FLAIR MRI.
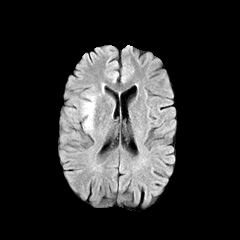
T1-weighted MRI.
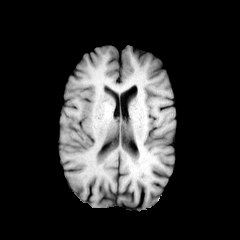
Post-contrast T1-weighted MRI.
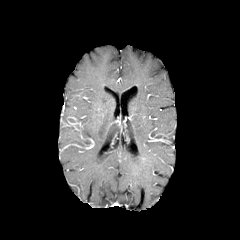
T2-weighted magnetic resonance.
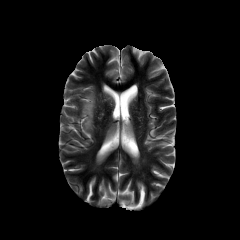
Brain.
peritumoral edema = <bbox>82, 94, 95, 130</bbox>